Axial slice
FLAIR magnetic resonance.
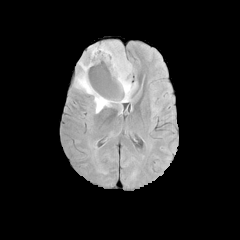
T1-weighted magnetic resonance.
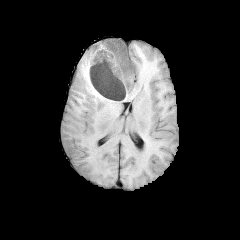
Post-contrast T1-weighted MR image.
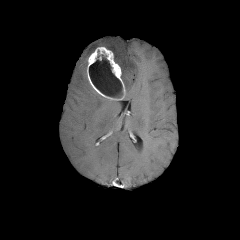
T2-weighted MR.
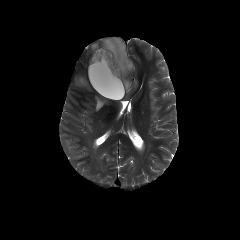
enhancing tumor = 87 47 125 100
necrotic tumor core = 89 50 123 98
peritumoral edema = 74 40 138 114